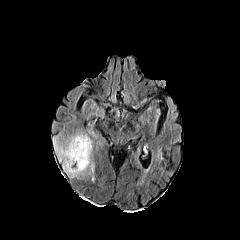
FLAIR MRI.
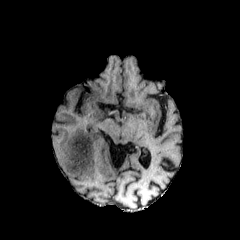
Same slice, T1-weighted MRI.
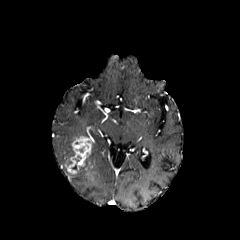
Post-contrast T1-weighted MR.
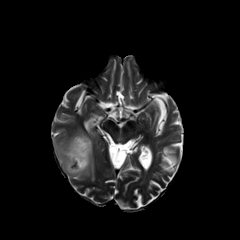
T2-weighted MR image.
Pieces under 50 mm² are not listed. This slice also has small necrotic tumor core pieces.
The peritumoral edema appears at [x1=54, y1=132, x2=94, y2=181]. The enhancing tumor is located at [x1=68, y1=136, x2=90, y2=173].